FLAIR MRI.
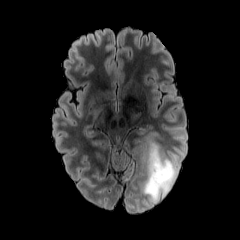
T1-weighted magnetic resonance.
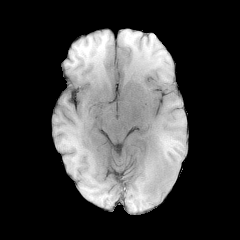
Post-contrast T1-weighted MR image.
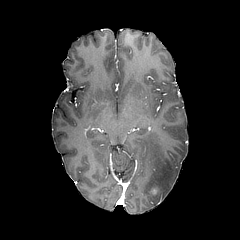
T2-weighted MRI.
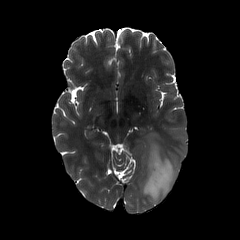
Axial slice, Image size 240x240, Brain
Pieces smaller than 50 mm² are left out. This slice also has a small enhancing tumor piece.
peritumoral edema: bounding box 141, 132, 178, 206